Slice index 99, 240x240 px
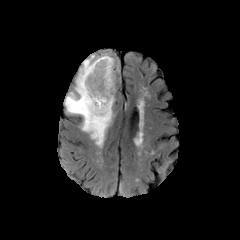
FLAIR magnetic resonance.
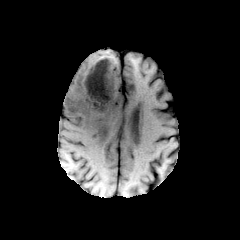
T1-weighted MR image.
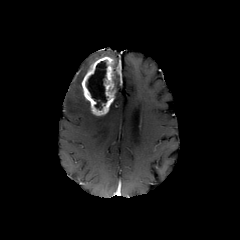
Post-contrast T1-weighted magnetic resonance of the same slice.
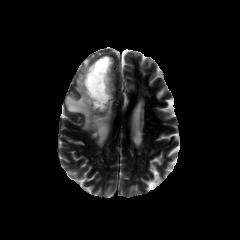
T2-weighted MRI.
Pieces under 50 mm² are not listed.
necrotic tumor core: box=[87, 61, 106, 109]
peritumoral edema: box=[64, 51, 119, 147]
enhancing tumor: box=[81, 56, 120, 115]